Axial slice; Head
FLAIR MR image.
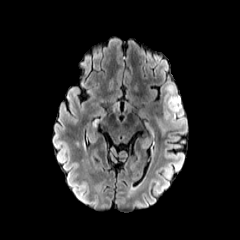
T1-weighted MR.
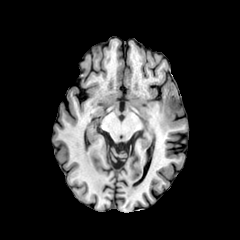
Post-contrast T1-weighted magnetic resonance.
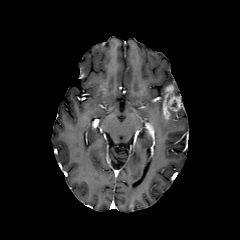
T2-weighted MR.
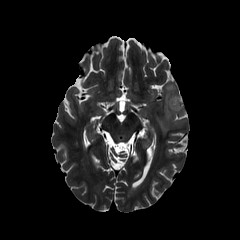
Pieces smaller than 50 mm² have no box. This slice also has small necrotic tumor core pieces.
- enhancing tumor: left=162, top=84, right=182, bottom=122
- peritumoral edema: left=158, top=107, right=186, bottom=132